Brain | Image width 240 mm | Axial view
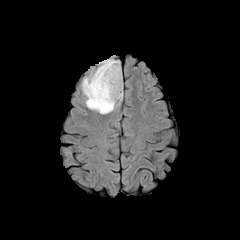
FLAIR MR.
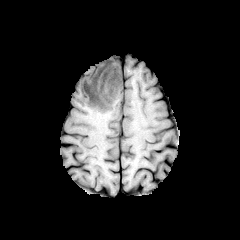
T1-weighted MR image.
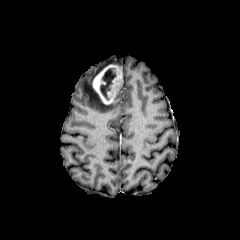
Post-contrast T1-weighted MR image of the same slice.
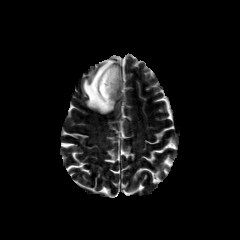
T2-weighted magnetic resonance.
The peritumoral edema appears at box(81, 55, 122, 113). The enhancing tumor appears at box(92, 64, 122, 104). The necrotic tumor core is bounded by box(100, 68, 116, 100).